Slice index 110 | Axial view | Image covers 240 mm x 240 mm
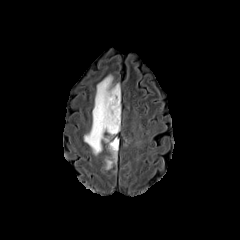
FLAIR MR image.
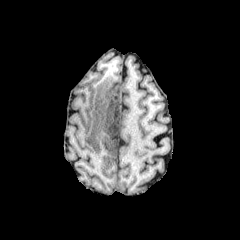
T1-weighted magnetic resonance of the same slice.
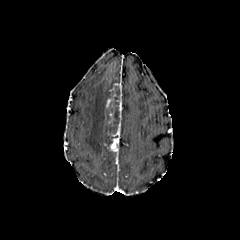
Post-contrast T1-weighted magnetic resonance.
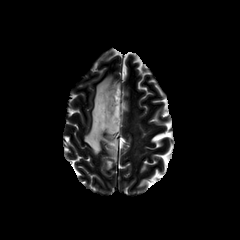
T2-weighted MR.
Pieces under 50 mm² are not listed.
The largest necrotic tumor core region is located at box=[108, 107, 119, 133]. The 2 largest enhancing tumor regions are bounded by box=[105, 87, 121, 136]; box=[108, 138, 118, 151]. The 2 largest peritumoral edema regions appear at box=[84, 75, 115, 154]; box=[106, 160, 112, 169].